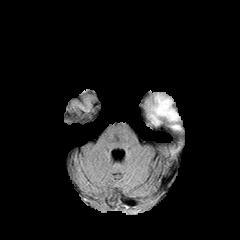
FLAIR MRI.
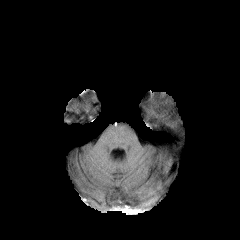
Same slice, T1-weighted MR.
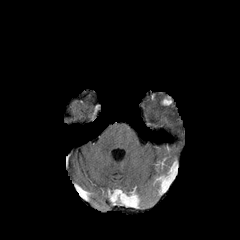
Post-contrast T1-weighted MRI.
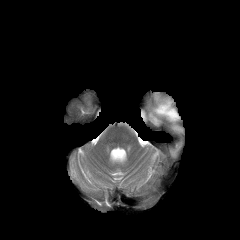
T2-weighted MRI of the same slice.
Axial slice.
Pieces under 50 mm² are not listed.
<segmentation>
  <peritumoral_edema><bbox>149, 94, 179, 124</bbox></peritumoral_edema>
  <enhancing_tumor><bbox>161, 96, 172, 105</bbox></enhancing_tumor>
</segmentation>